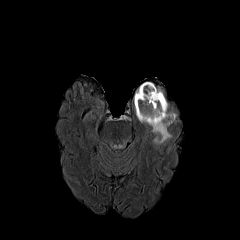
FLAIR MRI.
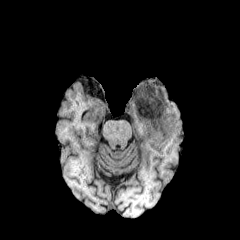
T1-weighted MR image.
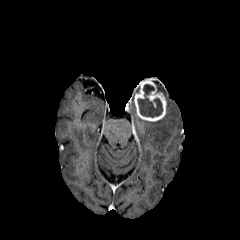
Same slice, post-contrast T1-weighted MRI.
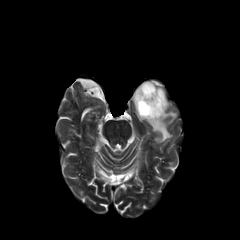
Same slice, T2-weighted MR image.
Head, 240x240 px, Axial plane
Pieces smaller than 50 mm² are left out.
peritumoral edema: l=138, t=111, r=177, b=143 | enhancing tumor: l=134, t=80, r=166, b=121 | necrotic tumor core: l=143, t=84, r=154, b=96; l=138, t=97, r=162, b=117